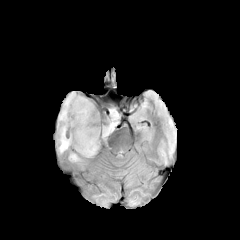
FLAIR MR image.
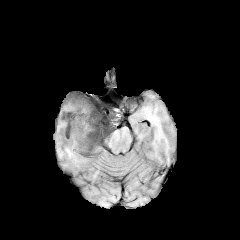
T1-weighted MR image.
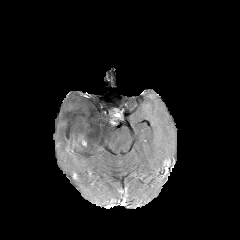
Post-contrast T1-weighted MRI.
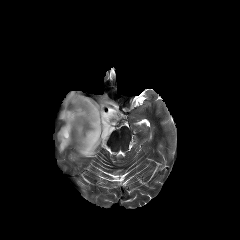
Same slice, T2-weighted MR.
Brain; 240x240
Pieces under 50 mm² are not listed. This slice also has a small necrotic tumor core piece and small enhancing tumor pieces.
peritumoral edema — box=[69, 153, 79, 161]; box=[58, 91, 118, 157]